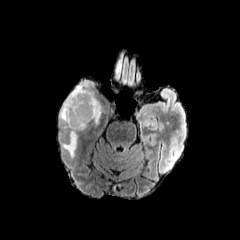
FLAIR MR image.
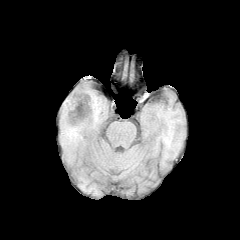
T1-weighted MR image.
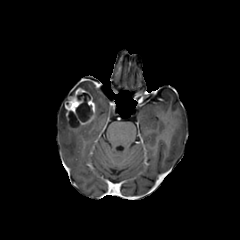
Post-contrast T1-weighted MRI.
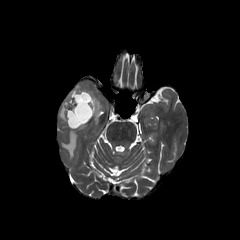
T2-weighted magnetic resonance.
Brain; 240x240
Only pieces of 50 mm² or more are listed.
{
  "enhancing_tumor": [
    "bbox=[64, 87, 95, 129]"
  ],
  "necrotic_tumor_core": [
    "bbox=[76, 93, 92, 121]",
    "bbox=[68, 111, 79, 127]"
  ],
  "peritumoral_edema": [
    "bbox=[68, 81, 101, 124]",
    "bbox=[59, 97, 67, 123]",
    "bbox=[62, 130, 77, 157]"
  ]
}